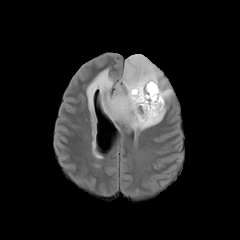
FLAIR MRI.
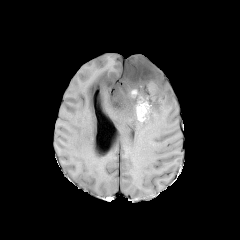
T1-weighted magnetic resonance.
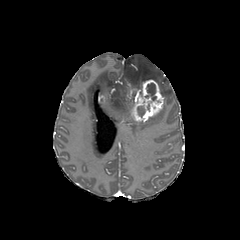
Post-contrast T1-weighted MR.
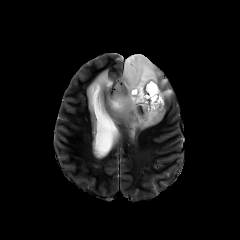
T2-weighted MR.
240x240; Axial slice
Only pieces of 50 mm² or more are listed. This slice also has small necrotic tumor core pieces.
The largest enhancing tumor region lies within x1=128, y1=79, x2=164, y2=122. The peritumoral edema appears at x1=86, y1=54, x2=172, y2=131.